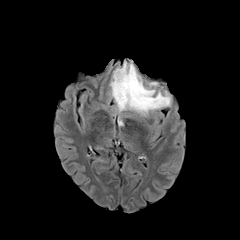
FLAIR MRI.
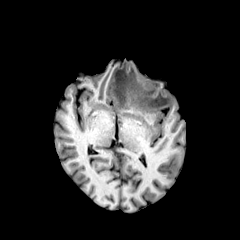
T1-weighted MR of the same slice.
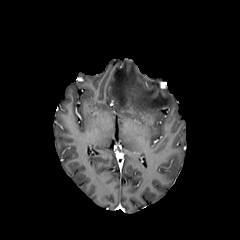
Post-contrast T1-weighted MRI.
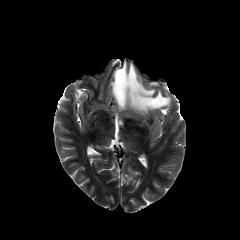
T2-weighted MR.
Axial slice, Brain
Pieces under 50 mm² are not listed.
peritumoral edema — bbox(110, 61, 171, 115)